Image size 240x240. Brain. Slice 125/155.
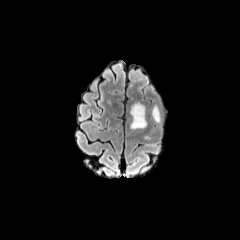
FLAIR MR image.
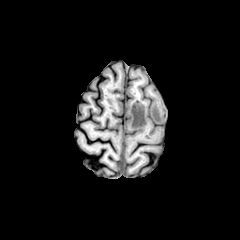
T1-weighted MRI of the same slice.
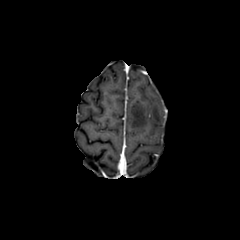
Post-contrast T1-weighted MRI.
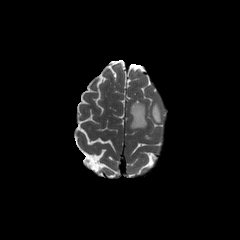
T2-weighted magnetic resonance of the same slice.
peritumoral edema at rect(152, 105, 160, 122); rect(130, 102, 146, 129)